Image covers 240 mm x 240 mm. Slice 99/155. Axial plane.
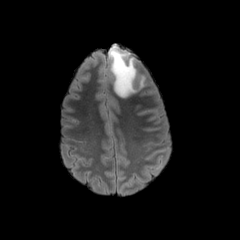
FLAIR MRI.
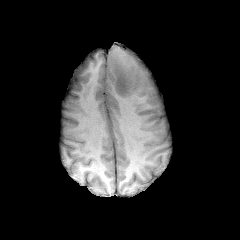
T1-weighted magnetic resonance of the same slice.
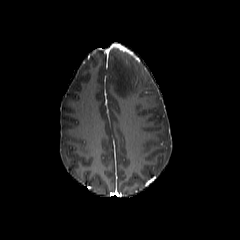
Post-contrast T1-weighted MR of the same slice.
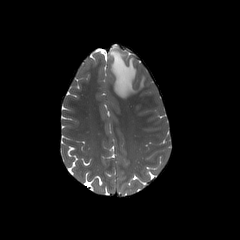
T2-weighted MRI of the same slice.
{"peritumoral_edema": ["bbox(109, 46, 145, 97)"]}